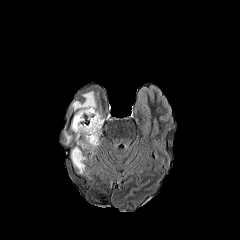
FLAIR magnetic resonance.
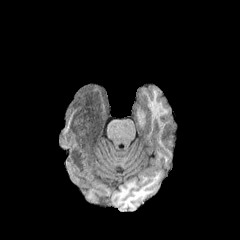
T1-weighted MR.
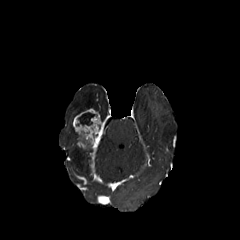
Post-contrast T1-weighted MR of the same slice.
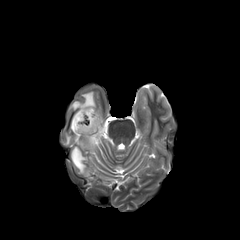
T2-weighted MR.
Brain. Axial slice.
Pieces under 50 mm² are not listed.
The 3 largest peritumoral edema regions appear at left=65, top=133, right=71, bottom=144; left=71, top=145, right=86, bottom=173; left=70, top=91, right=96, bottom=115. The largest necrotic tumor core region is located at left=78, top=112, right=94, bottom=125. The enhancing tumor is located at left=72, top=108, right=103, bottom=149.